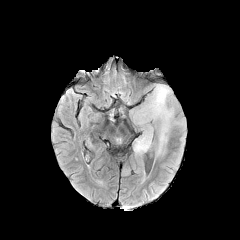
FLAIR magnetic resonance.
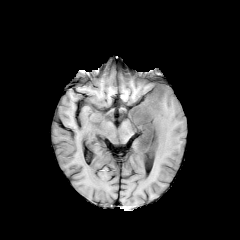
Same slice, T1-weighted MR image.
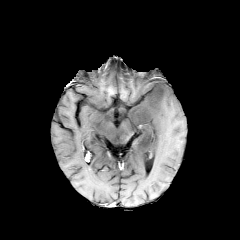
Post-contrast T1-weighted MR of the same slice.
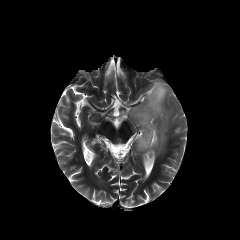
T2-weighted MR.
Brain
peritumoral edema: bbox=[128, 83, 180, 154]